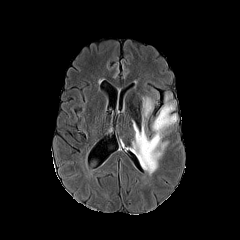
FLAIR magnetic resonance.
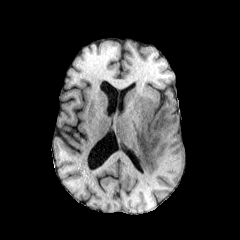
T1-weighted MR image of the same slice.
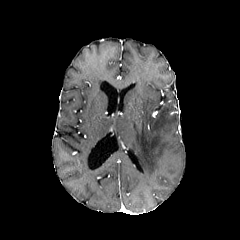
Post-contrast T1-weighted MR image of the same slice.
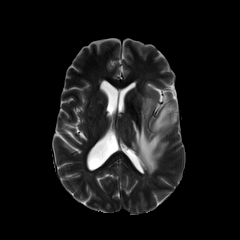
T2-weighted MRI.
240x240 px. Head.
Segmented structures:
- peritumoral edema: <bbox>130, 95, 177, 174</bbox>